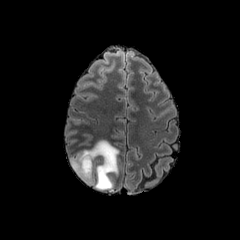
FLAIR magnetic resonance.
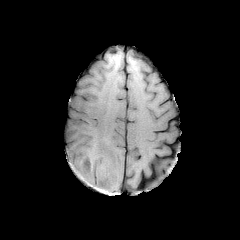
Same slice, T1-weighted MR image.
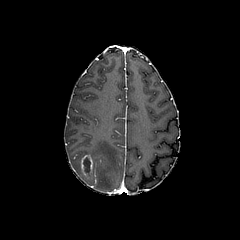
Post-contrast T1-weighted MR.
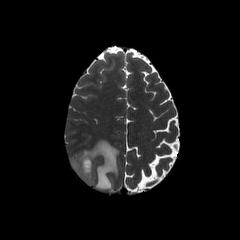
T2-weighted MR.
Axial view; Brain
peritumoral edema — 70:140:118:190
necrotic tumor core — 83:157:90:172
enhancing tumor — 81:154:93:176